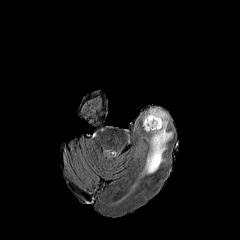
FLAIR MRI.
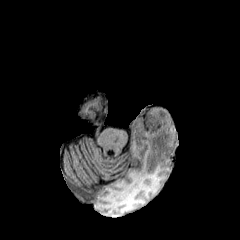
T1-weighted MRI of the same slice.
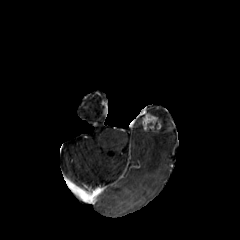
Same slice, post-contrast T1-weighted magnetic resonance.
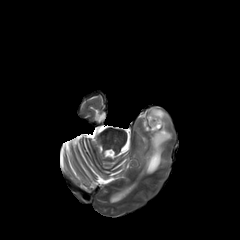
T2-weighted magnetic resonance of the same slice.
240x240 px. Brain.
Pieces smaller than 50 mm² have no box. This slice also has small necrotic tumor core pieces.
enhancing tumor at {"x1": 142, "y1": 113, "x2": 161, "y2": 131}
peritumoral edema at {"x1": 142, "y1": 108, "x2": 172, "y2": 174}